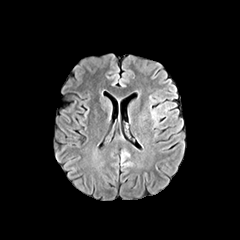
FLAIR MR.
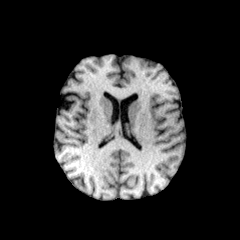
T1-weighted magnetic resonance.
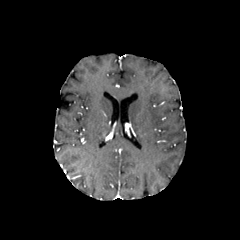
Same slice, post-contrast T1-weighted MRI.
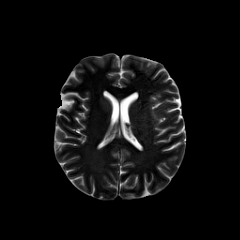
T2-weighted MRI.
Image size 240x240
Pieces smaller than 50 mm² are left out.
peritumoral edema: rect(121, 152, 129, 160)